FLAIR magnetic resonance.
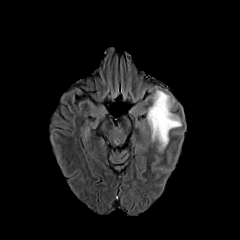
T1-weighted magnetic resonance.
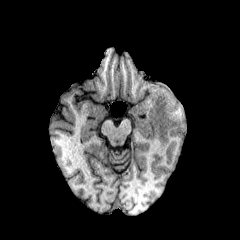
Post-contrast T1-weighted MR image.
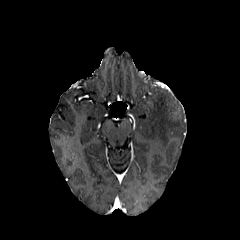
T2-weighted MR.
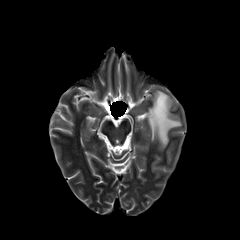
Axial slice. 240x240.
The peritumoral edema is bounded by [x1=147, y1=90, x2=181, y2=151].